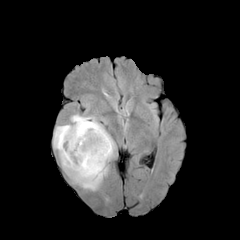
FLAIR MR.
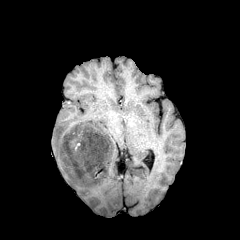
T1-weighted MR of the same slice.
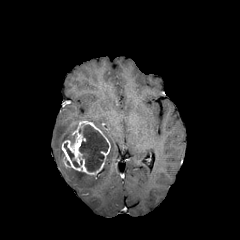
Post-contrast T1-weighted magnetic resonance.
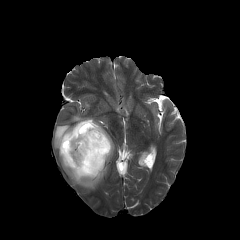
T2-weighted MR image of the same slice.
Brain | Axial slice
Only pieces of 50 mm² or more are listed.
peritumoral edema: box=[53, 114, 115, 190] | necrotic tumor core: box=[64, 143, 79, 167]; box=[79, 125, 108, 171] | enhancing tumor: box=[61, 120, 110, 176]